Brain | 240x240 | Axial plane | Image width 240 mm, 1.00 mm slice spacing
FLAIR MR.
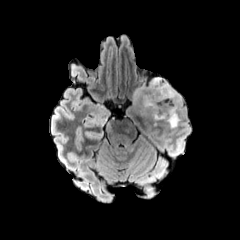
T1-weighted MR image.
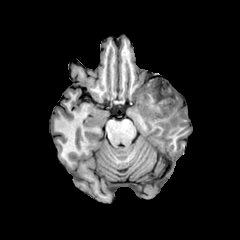
Post-contrast T1-weighted magnetic resonance.
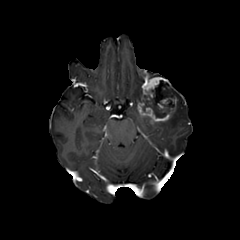
T2-weighted MRI.
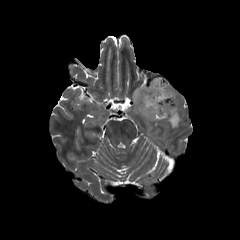
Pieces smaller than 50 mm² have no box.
- peritumoral edema: region(165, 89, 182, 128); region(133, 86, 141, 106)
- enhancing tumor: region(137, 76, 176, 121)
- necrotic tumor core: region(142, 80, 174, 117)